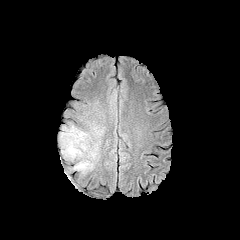
FLAIR MRI.
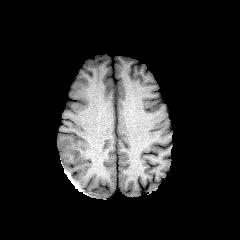
T1-weighted MRI.
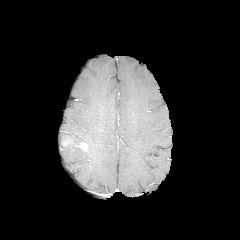
Post-contrast T1-weighted MRI of the same slice.
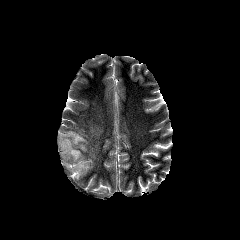
T2-weighted MR image.
Brain | 240x240
Segmented structures:
- peritumoral edema: left=59, top=125, right=101, bottom=174
- enhancing tumor: left=76, top=142, right=87, bottom=151; left=62, top=138, right=72, bottom=146